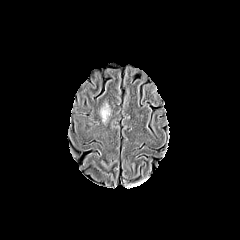
FLAIR MR.
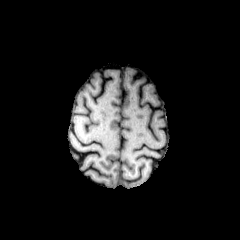
T1-weighted magnetic resonance of the same slice.
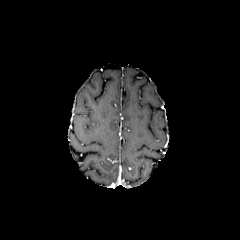
Post-contrast T1-weighted magnetic resonance of the same slice.
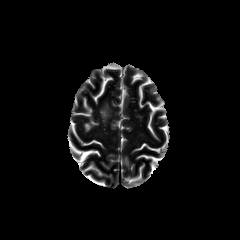
Same slice, T2-weighted MR.
Head
peritumoral edema: bounding box [100, 104, 109, 120]